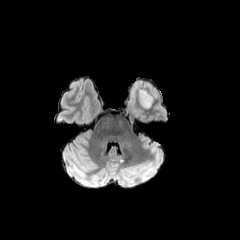
FLAIR magnetic resonance.
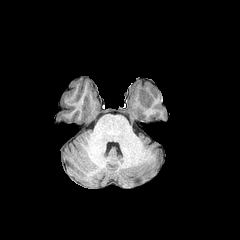
T1-weighted MRI of the same slice.
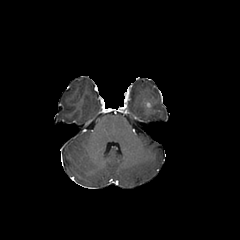
Post-contrast T1-weighted MRI of the same slice.
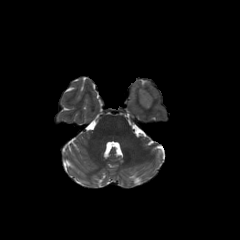
T2-weighted MRI.
Brain, Image size 240x240
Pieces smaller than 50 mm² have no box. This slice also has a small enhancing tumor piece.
Findings:
- peritumoral edema: (left=130, top=79, right=158, bottom=108)